FLAIR MRI.
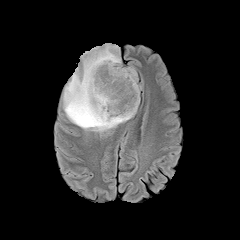
T1-weighted magnetic resonance.
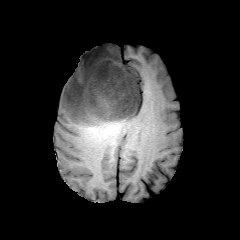
Post-contrast T1-weighted MR image.
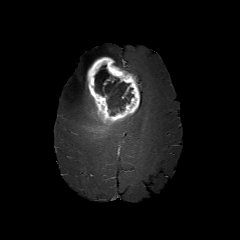
T2-weighted MR image.
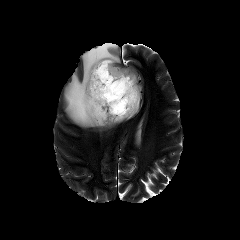
Image size 240x240. Axial slice.
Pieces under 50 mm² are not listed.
necrotic tumor core: 95:65:133:115 | peritumoral edema: 63:43:136:131, 121:68:136:75 | enhancing tumor: 87:56:139:124